Slice 65/155; 240x240 px
FLAIR MR image.
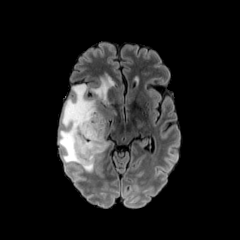
T1-weighted magnetic resonance.
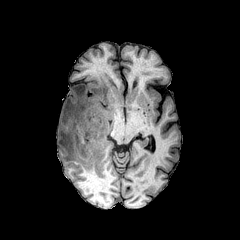
Post-contrast T1-weighted magnetic resonance.
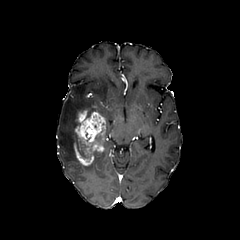
T2-weighted MR image.
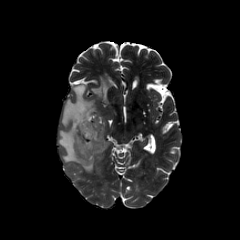
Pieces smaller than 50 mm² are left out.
The largest peritumoral edema region appears at l=58, t=74, r=115, b=171. The 2 largest necrotic tumor core regions are bounded by l=75, t=133, r=92, b=159; l=95, t=126, r=104, b=140. The enhancing tumor is at l=73, t=109, r=106, b=165.